Slice 57/155
FLAIR MRI.
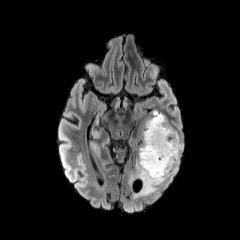
T1-weighted magnetic resonance.
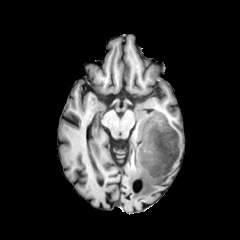
Post-contrast T1-weighted MR image.
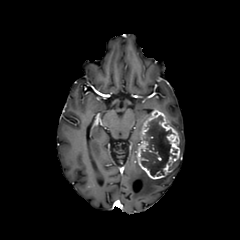
T2-weighted MR image.
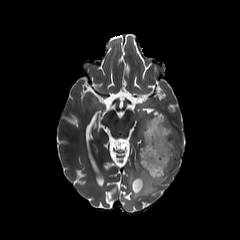
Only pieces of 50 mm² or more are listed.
enhancing tumor: bounding box [137, 109, 179, 179]
necrotic tumor core: bounding box [141, 115, 175, 176]
peritumoral edema: bounding box [129, 158, 179, 198], [178, 132, 183, 157]